FLAIR MR image.
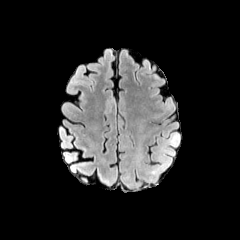
T1-weighted MR.
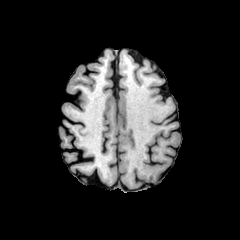
Post-contrast T1-weighted magnetic resonance.
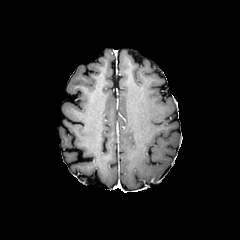
T2-weighted MRI.
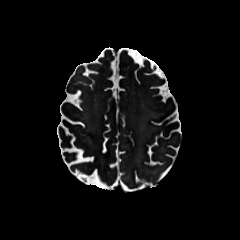
Axial view
peritumoral edema: region(150, 168, 159, 175)